Image width 240 mm; Slice index 87; Axial slice
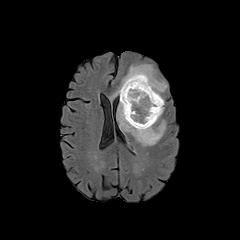
FLAIR MR.
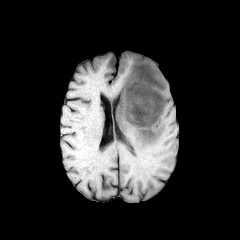
T1-weighted magnetic resonance.
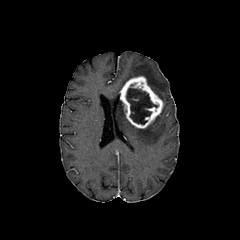
Post-contrast T1-weighted MR image.
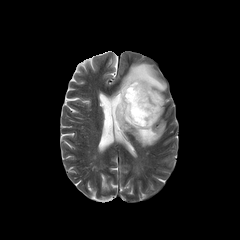
T2-weighted MR image of the same slice.
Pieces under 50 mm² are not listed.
peritumoral edema: bbox=[117, 100, 165, 146]; bbox=[108, 63, 167, 103]
necrotic tumor core: bbox=[126, 88, 157, 124]
enhancing tumor: bbox=[119, 76, 163, 128]